FLAIR MR image.
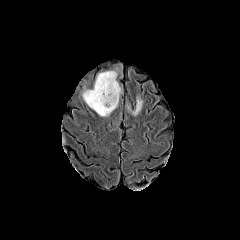
T1-weighted MR.
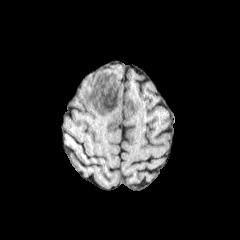
Post-contrast T1-weighted MRI.
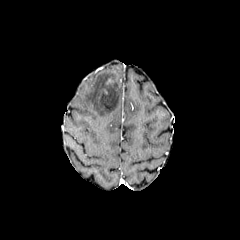
T2-weighted MRI.
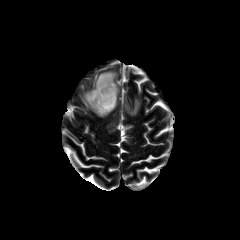
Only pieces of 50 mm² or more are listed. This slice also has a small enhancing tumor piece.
peritumoral edema: rect(82, 71, 121, 116); rect(132, 97, 142, 115)